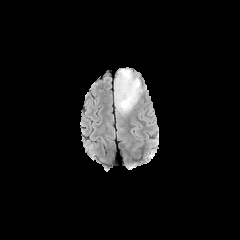
FLAIR MRI.
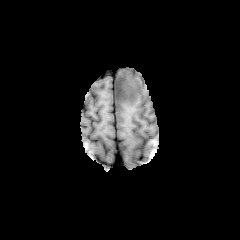
T1-weighted MR.
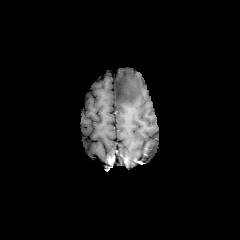
Same slice, post-contrast T1-weighted MR.
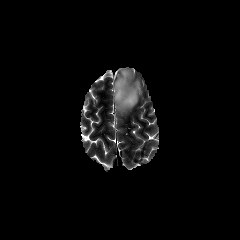
T2-weighted MR of the same slice.
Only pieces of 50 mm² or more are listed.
peritumoral edema: left=114, top=72, right=141, bottom=113
necrotic tumor core: left=115, top=69, right=136, bottom=102